Slice index 103; Axial view
FLAIR MR.
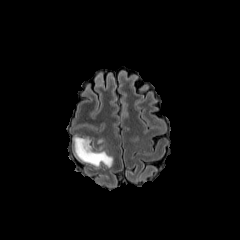
T1-weighted MRI.
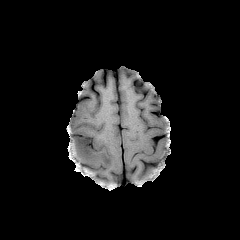
Post-contrast T1-weighted MR image.
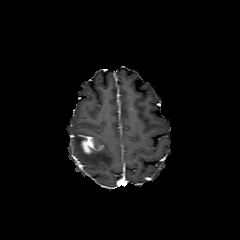
T2-weighted MR.
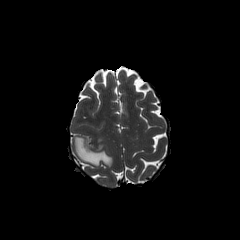
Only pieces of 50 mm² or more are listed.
Annotated regions:
- enhancing tumor: (81,136,95,154)
- peritumoral edema: (73,135,113,167)